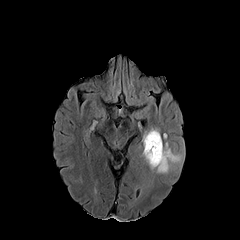
FLAIR magnetic resonance.
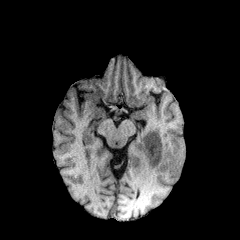
Same slice, T1-weighted magnetic resonance.
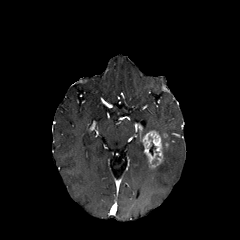
Post-contrast T1-weighted magnetic resonance of the same slice.
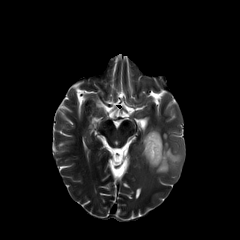
T2-weighted MR.
Head
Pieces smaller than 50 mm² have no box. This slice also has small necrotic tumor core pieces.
enhancing tumor at 142 130 164 168
peritumoral edema at 151 144 182 173